Brain, Slice index 41
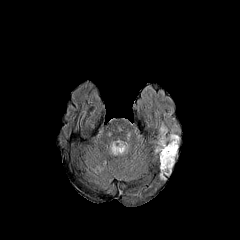
FLAIR MR image.
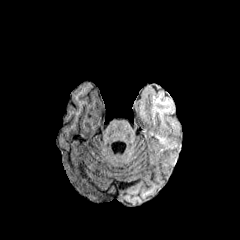
T1-weighted magnetic resonance.
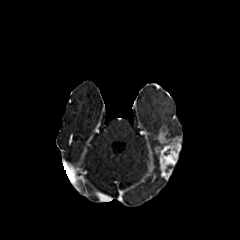
Post-contrast T1-weighted magnetic resonance of the same slice.
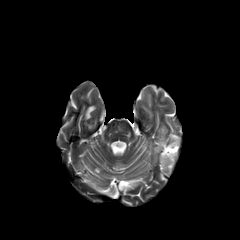
Same slice, T2-weighted magnetic resonance.
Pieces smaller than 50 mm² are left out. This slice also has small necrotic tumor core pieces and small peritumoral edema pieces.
The enhancing tumor is at l=154, t=126, r=181, b=178.